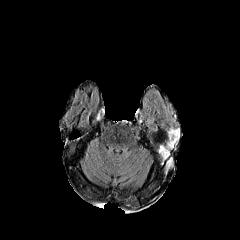
FLAIR magnetic resonance.
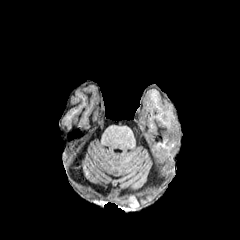
T1-weighted magnetic resonance.
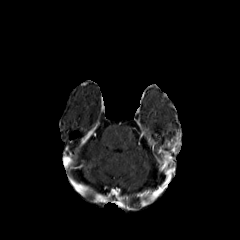
Post-contrast T1-weighted MR image.
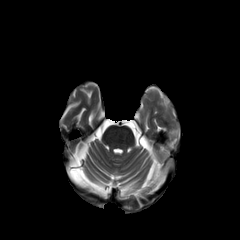
T2-weighted MR image.
Axial plane
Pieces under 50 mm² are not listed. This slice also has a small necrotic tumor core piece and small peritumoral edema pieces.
{"enhancing_tumor": ["rect(158, 128, 181, 165)"]}